Brain
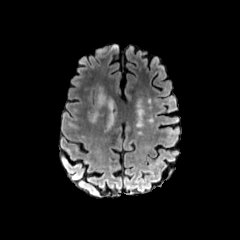
FLAIR MR.
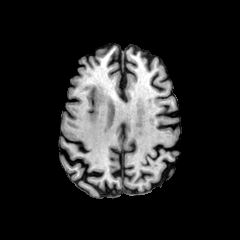
T1-weighted MR image.
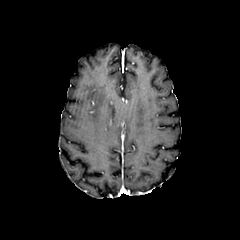
Post-contrast T1-weighted MRI of the same slice.
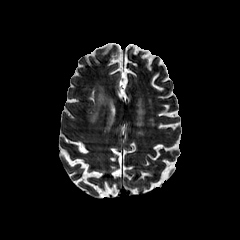
T2-weighted MR.
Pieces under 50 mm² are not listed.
peritumoral edema: x1=97 y1=87 x2=111 y2=107